Image size 240x240; Axial plane; Image width 240 mm, 1.00 mm slice spacing
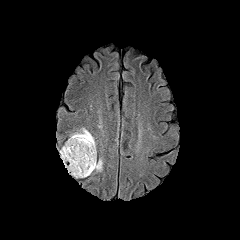
FLAIR magnetic resonance.
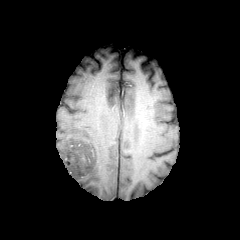
T1-weighted MR image of the same slice.
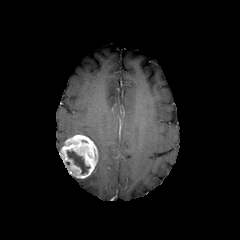
Post-contrast T1-weighted MR image of the same slice.
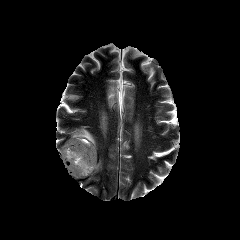
T2-weighted MR of the same slice.
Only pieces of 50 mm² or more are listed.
2 peritumoral edema regions appear at box(70, 127, 96, 146); box(94, 158, 102, 171). The enhancing tumor is bounded by box(59, 134, 97, 178). The largest necrotic tumor core region is located at box(67, 151, 89, 174).